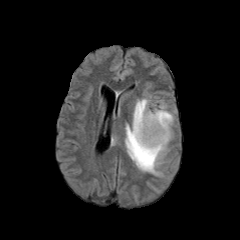
FLAIR magnetic resonance.
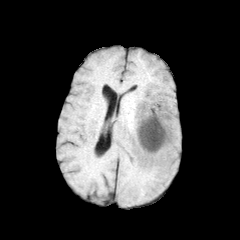
T1-weighted MR image.
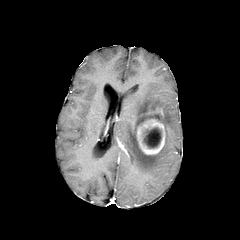
Post-contrast T1-weighted MR image.
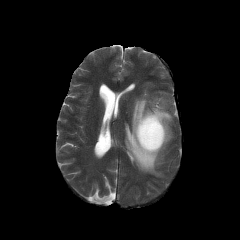
T2-weighted magnetic resonance.
Head
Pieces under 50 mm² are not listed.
enhancing tumor: left=136, top=108, right=170, bottom=155
necrotic tumor core: left=141, top=114, right=161, bottom=122; left=143, top=127, right=161, bottom=147
peritumoral edema: left=125, top=98, right=173, bottom=175